Axial slice, Slice index 63, Head
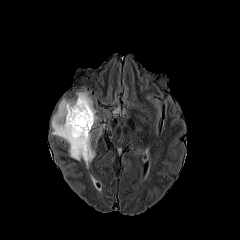
FLAIR MR.
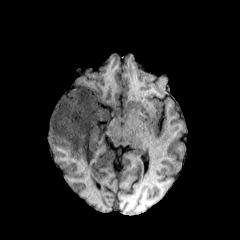
T1-weighted MR image.
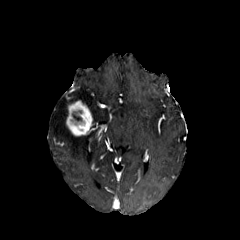
Same slice, post-contrast T1-weighted magnetic resonance.
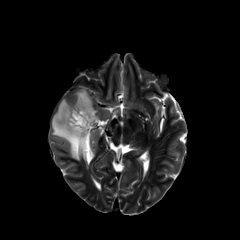
T2-weighted MR of the same slice.
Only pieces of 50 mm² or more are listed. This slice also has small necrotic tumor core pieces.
enhancing tumor at 66,100,92,136
peritumoral edema at 51,89,98,168